FLAIR MR.
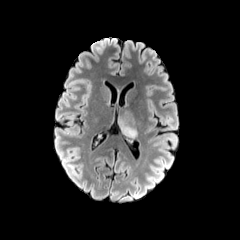
T1-weighted MR.
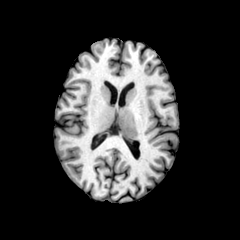
Post-contrast T1-weighted MR image.
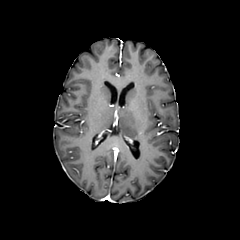
T2-weighted MR image.
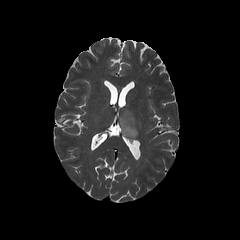
Brain. Axial plane.
peritumoral_edema:
  - rect(118, 111, 137, 138)